FLAIR MR.
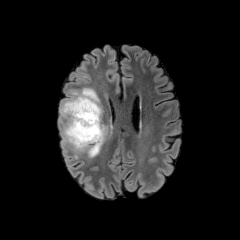
T1-weighted MRI.
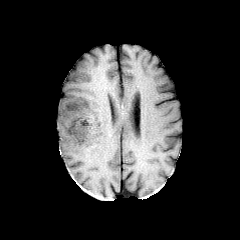
Post-contrast T1-weighted MR.
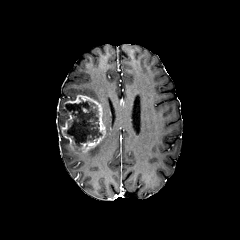
T2-weighted MR.
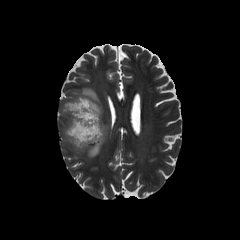
Head; Axial slice; 240x240 px
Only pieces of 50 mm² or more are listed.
The 3 largest peritumoral edema regions are located at rect(85, 126, 107, 158); rect(61, 135, 69, 152); rect(59, 88, 99, 126). The largest enhancing tumor region lies within rect(60, 94, 105, 153). The necrotic tumor core is at rect(65, 101, 102, 147).